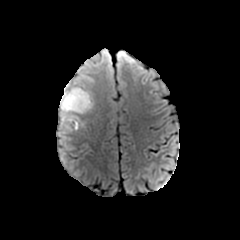
FLAIR magnetic resonance.
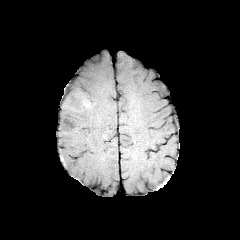
T1-weighted magnetic resonance of the same slice.
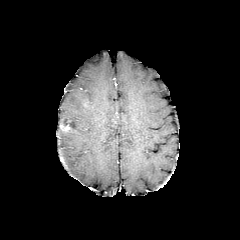
Post-contrast T1-weighted magnetic resonance of the same slice.
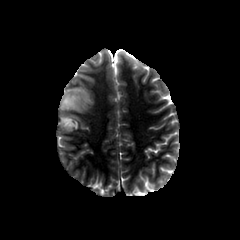
T2-weighted MR of the same slice.
Head. Axial slice.
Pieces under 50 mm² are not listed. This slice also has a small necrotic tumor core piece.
peritumoral edema: 58,83,92,133 | enhancing tumor: 59,117,75,131